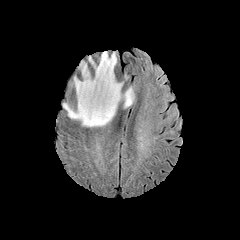
FLAIR MRI.
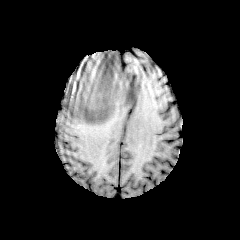
T1-weighted MR of the same slice.
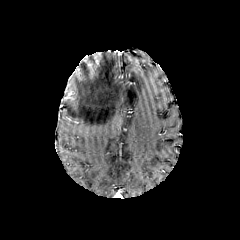
Post-contrast T1-weighted MRI of the same slice.
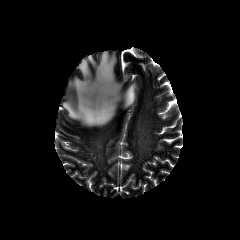
T2-weighted MR.
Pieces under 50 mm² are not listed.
peritumoral edema: x1=63, y1=51, x2=135, y2=127